Slice 81 of 155
FLAIR magnetic resonance.
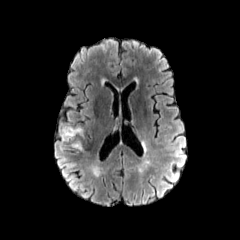
T1-weighted MR image.
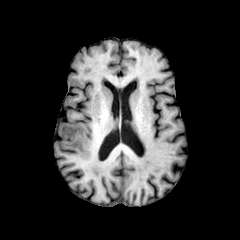
Post-contrast T1-weighted MR image.
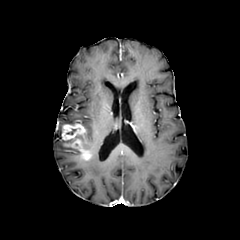
T2-weighted MR image.
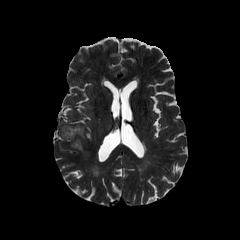
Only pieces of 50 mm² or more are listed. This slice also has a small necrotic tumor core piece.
The enhancing tumor is located at (left=61, top=124, right=91, bottom=160).